Axial view
FLAIR magnetic resonance.
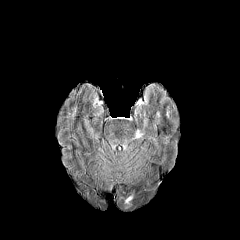
T1-weighted MR image.
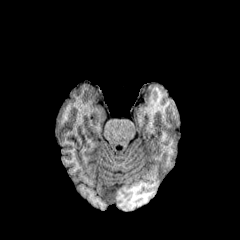
Post-contrast T1-weighted MR image.
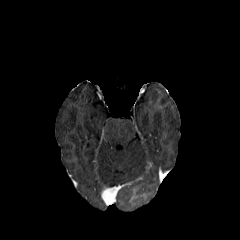
T2-weighted MR.
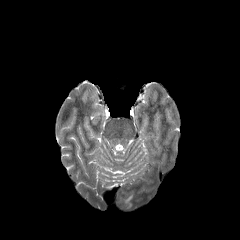
The peritumoral edema is bounded by box=[124, 193, 134, 204].